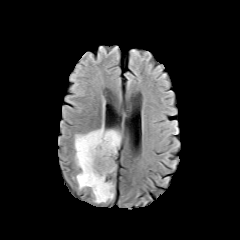
FLAIR MRI.
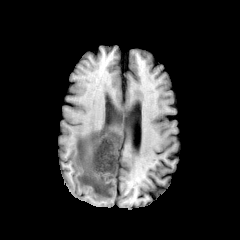
Same slice, T1-weighted MR image.
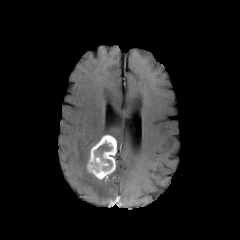
Post-contrast T1-weighted MR image.
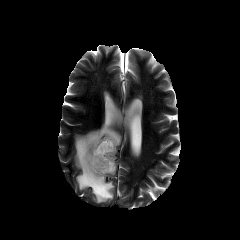
T2-weighted MR image.
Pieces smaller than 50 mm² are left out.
The necrotic tumor core lies within 98:145:110:151. The largest peritumoral edema region appears at 74:123:121:203. The enhancing tumor appears at 87:134:116:179.